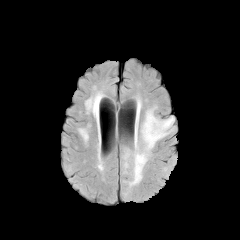
FLAIR magnetic resonance.
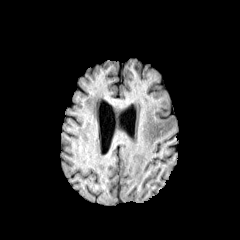
T1-weighted magnetic resonance.
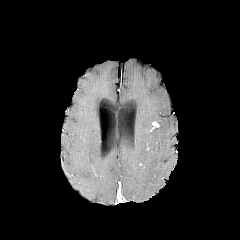
Post-contrast T1-weighted magnetic resonance.
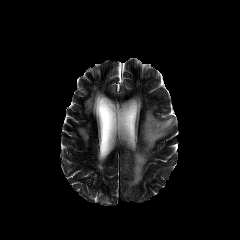
Same slice, T2-weighted MR image.
Brain.
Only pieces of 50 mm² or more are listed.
2 peritumoral edema regions are bounded by 128:98:174:187, 124:151:130:168. The largest enhancing tumor region is located at 150:121:159:131.